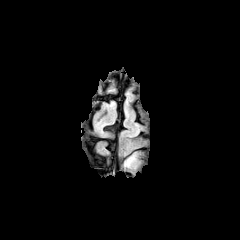
FLAIR MR.
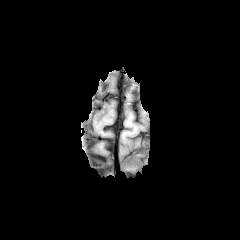
T1-weighted magnetic resonance of the same slice.
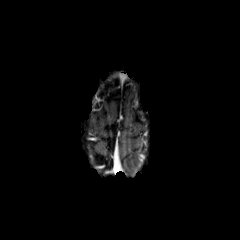
Post-contrast T1-weighted magnetic resonance.
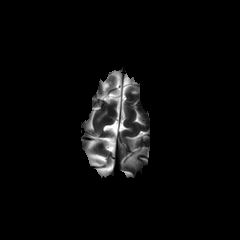
T2-weighted MR.
<segmentation>
  <peritumoral_edema>l=125, t=154, r=136, b=166</peritumoral_edema>
</segmentation>